FLAIR MRI.
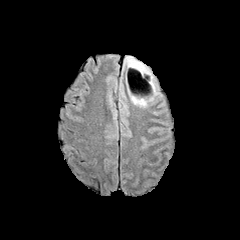
T1-weighted MRI.
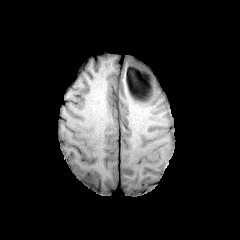
Post-contrast T1-weighted magnetic resonance.
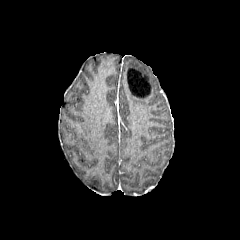
T2-weighted MRI.
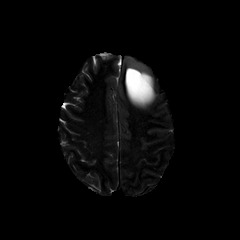
Axial plane, Brain, 240x240 px
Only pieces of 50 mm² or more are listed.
necrotic tumor core: [x1=127, y1=67, x2=151, y2=98]
peritumoral edema: [x1=127, y1=57, x2=157, y2=107]
enhancing tumor: [x1=131, y1=88, x2=152, y2=101]